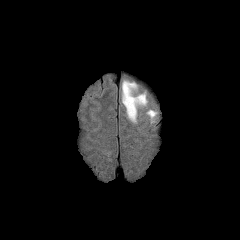
FLAIR MRI.
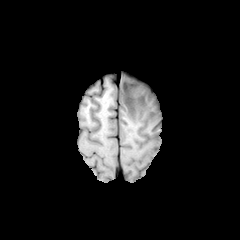
T1-weighted MRI.
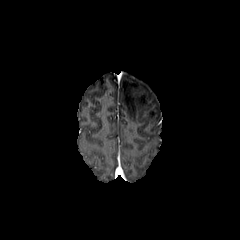
Same slice, post-contrast T1-weighted MRI.
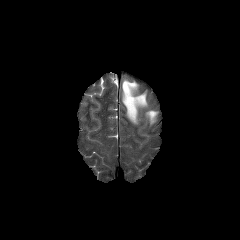
T2-weighted magnetic resonance.
2 peritumoral edema regions appear at <box>122,80,147,123</box>, <box>146,110,157,123</box>.